Slice 73 of 155, Axial view
FLAIR MRI.
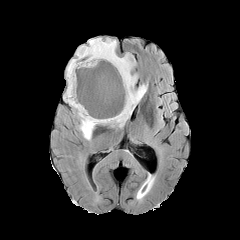
T1-weighted MRI.
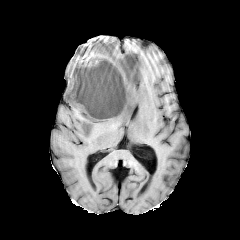
Post-contrast T1-weighted MR image.
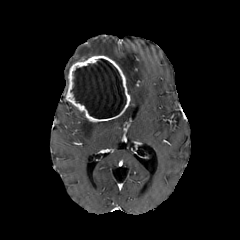
T2-weighted magnetic resonance.
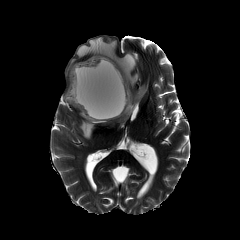
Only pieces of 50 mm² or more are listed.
The largest peritumoral edema region is at bbox=[66, 37, 147, 139]. The enhancing tumor is located at bbox=[64, 55, 130, 122]. The necrotic tumor core is bounded by bbox=[71, 59, 126, 118].